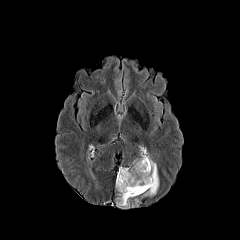
FLAIR magnetic resonance.
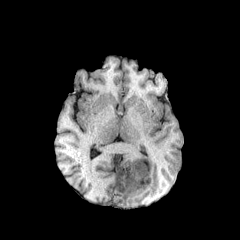
Same slice, T1-weighted MR image.
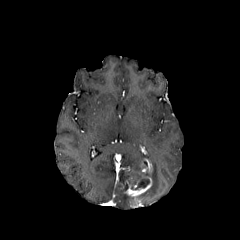
Post-contrast T1-weighted MRI.
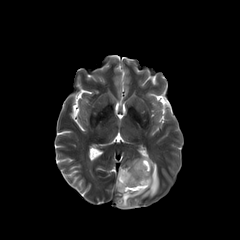
T2-weighted MRI.
Axial plane | 240x240
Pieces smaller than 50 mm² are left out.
The largest necrotic tumor core region is located at bbox(131, 179, 149, 189). 2 peritumoral edema regions are located at bbox(131, 154, 159, 197); bbox(115, 170, 140, 208). The largest enhancing tumor region is located at bbox(119, 158, 152, 206).